Image size 240x240, Slice 122 of 155
FLAIR MRI.
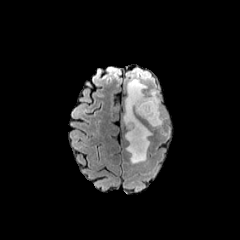
T1-weighted magnetic resonance.
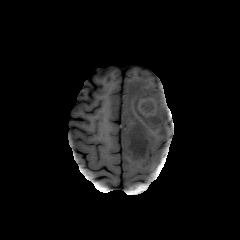
Post-contrast T1-weighted MR.
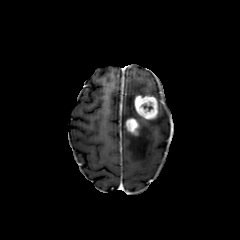
T2-weighted MR.
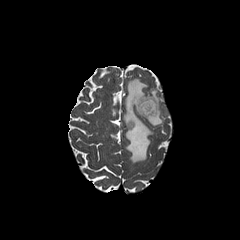
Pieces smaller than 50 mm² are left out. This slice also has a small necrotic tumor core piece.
2 peritumoral edema regions are bounded by box(147, 89, 166, 126); box(124, 78, 152, 163). 2 enhancing tumor regions are located at box(125, 118, 139, 135); box(134, 95, 158, 119).